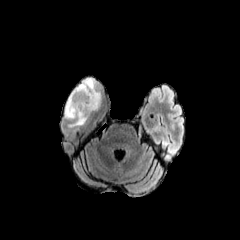
FLAIR MR.
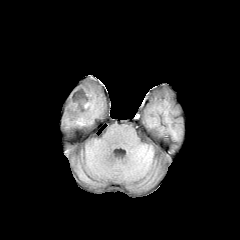
T1-weighted MR of the same slice.
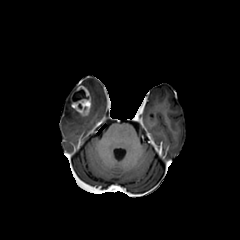
Post-contrast T1-weighted MRI.
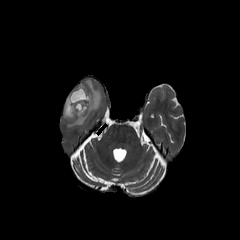
T2-weighted MRI of the same slice.
Axial slice; 240x240
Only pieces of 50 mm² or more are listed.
Segmented structures:
- peritumoral edema: 64,93,88,126; 79,78,101,114
- enhancing tumor: 70,85,91,117
- necrotic tumor core: 72,89,88,101